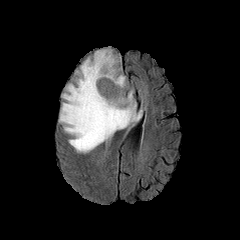
FLAIR MR.
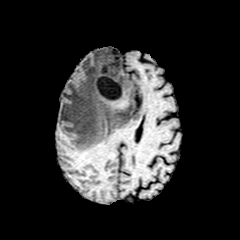
T1-weighted MR image of the same slice.
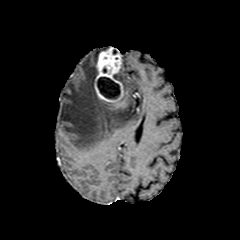
Same slice, post-contrast T1-weighted MR.
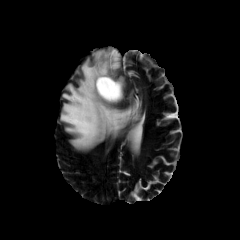
T2-weighted magnetic resonance.
Head, Axial plane
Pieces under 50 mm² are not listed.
* peritumoral edema: (x1=115, y1=74, x2=125, y2=87), (x1=59, y1=49, x2=141, y2=152)
* enhancing tumor: (x1=94, y1=47, x2=123, y2=102)
* necrotic tumor core: (x1=97, y1=77, x2=120, y2=99)